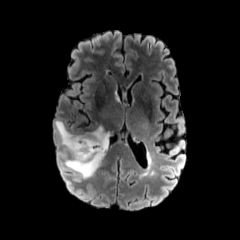
FLAIR MR.
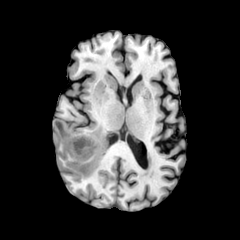
Same slice, T1-weighted MR image.
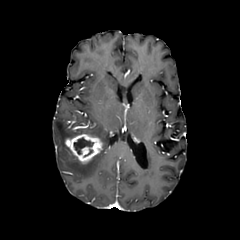
Post-contrast T1-weighted magnetic resonance.
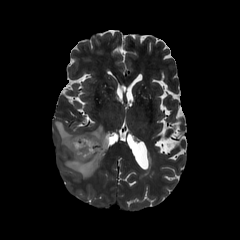
T2-weighted MR image of the same slice.
240x240
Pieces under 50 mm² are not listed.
necrotic_tumor_core:
  - [x1=74, y1=137, x2=93, y2=154]
enhancing_tumor:
  - [x1=65, y1=134, x2=102, y2=163]
peritumoral_edema:
  - [x1=55, y1=120, x2=109, y2=178]